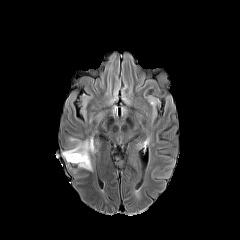
FLAIR MR.
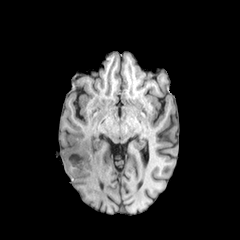
T1-weighted MR image.
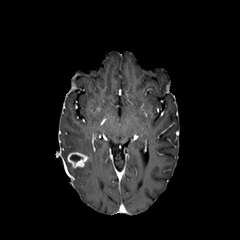
Post-contrast T1-weighted MRI.
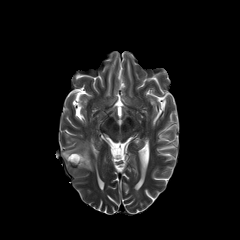
Same slice, T2-weighted MR image.
Brain
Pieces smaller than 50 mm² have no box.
peritumoral edema: bbox=[83, 159, 92, 169]; bbox=[62, 141, 92, 159]
enhancing tumor: bbox=[67, 152, 89, 167]
necrotic tumor core: bbox=[70, 155, 81, 161]